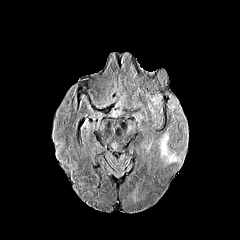
FLAIR MR.
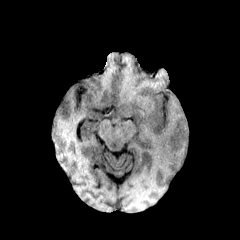
Same slice, T1-weighted MR.
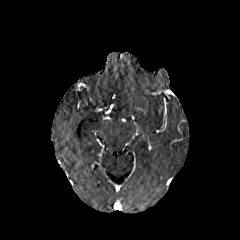
Post-contrast T1-weighted MR image of the same slice.
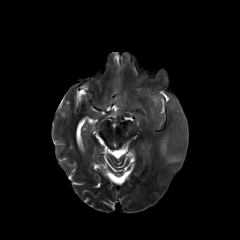
T2-weighted MRI.
Axial plane; Brain
<segmentation>
  <peritumoral_edema>160:137:173:162</peritumoral_edema>
</segmentation>